Brain | Image width 240 mm
FLAIR MR.
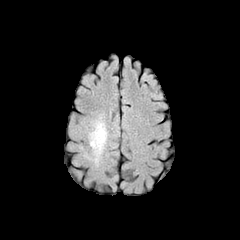
T1-weighted MR image.
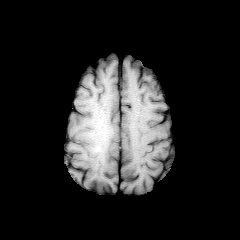
Post-contrast T1-weighted MR.
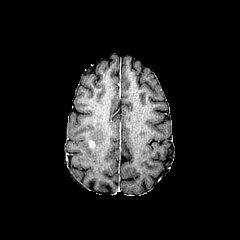
T2-weighted magnetic resonance.
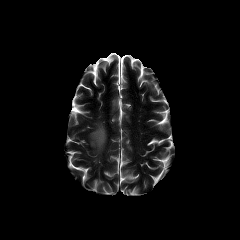
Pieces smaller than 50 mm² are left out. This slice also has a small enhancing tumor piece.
peritumoral edema — (78,109,108,169)